FLAIR MRI.
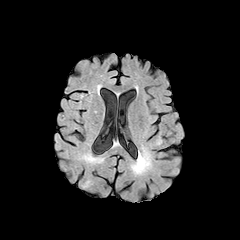
T1-weighted MR.
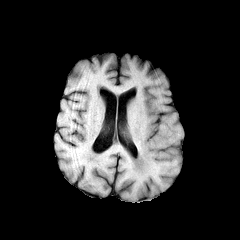
Post-contrast T1-weighted MR image.
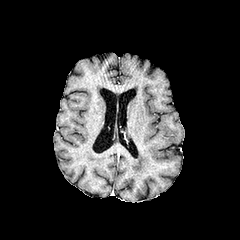
T2-weighted MR.
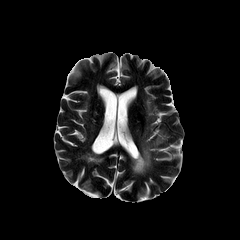
Axial slice
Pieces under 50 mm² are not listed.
peritumoral_edema:
  - x1=132, y1=145, x2=151, y2=174